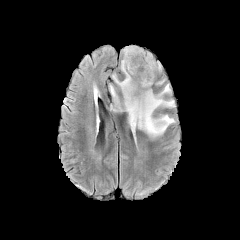
FLAIR MRI.
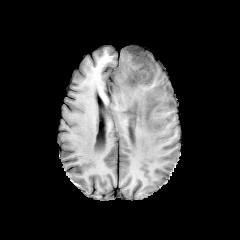
Same slice, T1-weighted MRI.
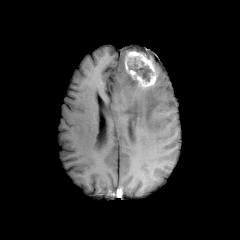
Post-contrast T1-weighted magnetic resonance of the same slice.
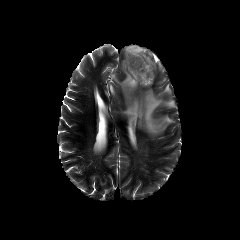
T2-weighted MR image.
Head
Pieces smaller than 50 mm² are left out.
{
  "enhancing_tumor": [
    "left=124, top=49, right=157, bottom=88"
  ],
  "necrotic_tumor_core": [
    "left=128, top=63, right=150, bottom=81"
  ],
  "peritumoral_edema": [
    "left=109, top=45, right=175, bottom=137"
  ]
}